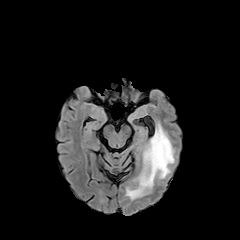
FLAIR MR.
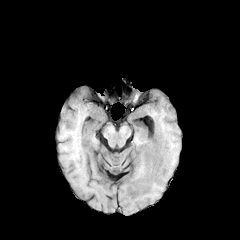
T1-weighted MRI.
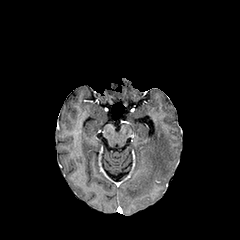
Post-contrast T1-weighted MR image.
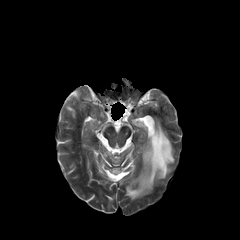
Same slice, T2-weighted magnetic resonance.
Axial view
peritumoral edema: rect(126, 122, 174, 199)